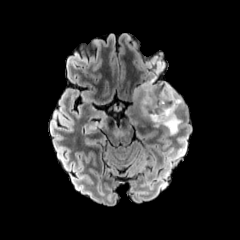
FLAIR MR image.
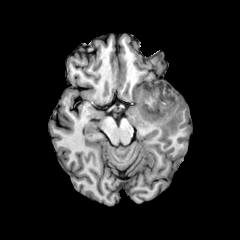
T1-weighted MR.
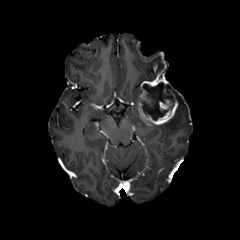
Post-contrast T1-weighted magnetic resonance of the same slice.
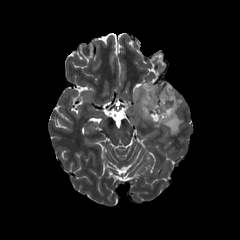
Same slice, T2-weighted MRI.
Axial view
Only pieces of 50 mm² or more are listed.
peritumoral edema: [x1=153, y1=88, x2=184, y2=134], [x1=133, y1=86, x2=140, y2=105] | enhancing tumor: [x1=136, y1=77, x2=178, y2=124] | necrotic tumor core: [x1=141, y1=82, x2=174, y2=120]